FLAIR MR.
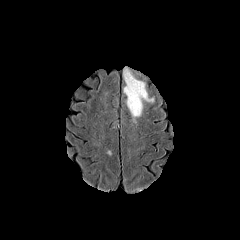
T1-weighted MR.
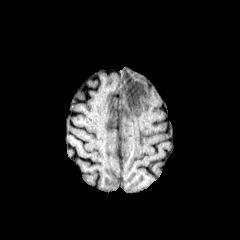
Post-contrast T1-weighted magnetic resonance.
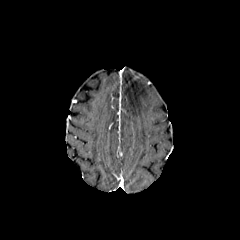
T2-weighted magnetic resonance.
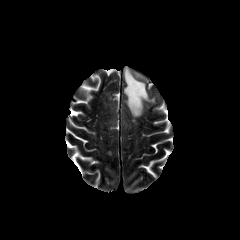
Brain
peritumoral_edema:
  - l=123, t=66, r=153, b=123